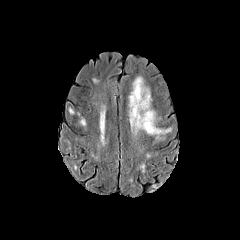
FLAIR MRI.
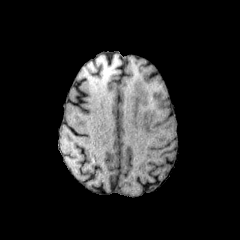
T1-weighted MR of the same slice.
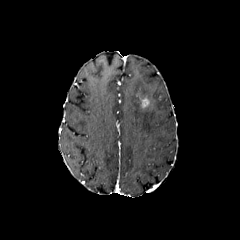
Post-contrast T1-weighted magnetic resonance.
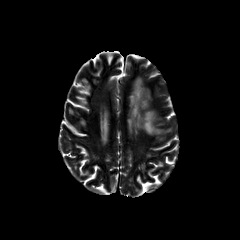
T2-weighted magnetic resonance.
Axial plane
peritumoral edema — x1=129 y1=76 x2=171 y2=139
enhancing tumor — x1=136 y1=93 x2=149 y2=108